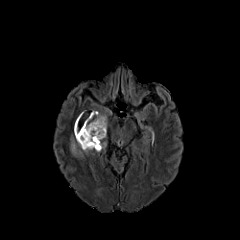
FLAIR magnetic resonance.
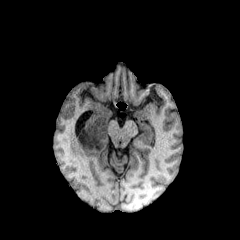
T1-weighted magnetic resonance of the same slice.
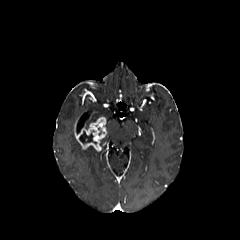
Same slice, post-contrast T1-weighted MR image.
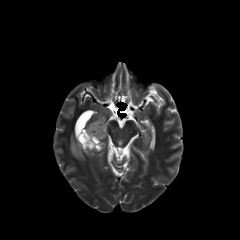
T2-weighted MRI.
Head
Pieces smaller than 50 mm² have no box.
The largest enhancing tumor region is located at <bbox>74, 116, 106, 151</bbox>. The 2 largest peritumoral edema regions appear at <bbox>85, 111, 105, 129</bbox>, <bbox>70, 136, 94, 158</bbox>. The largest necrotic tumor core region is located at <bbox>79, 131, 96, 144</bbox>.